FLAIR MRI.
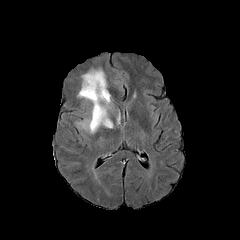
T1-weighted MR image.
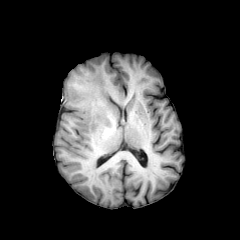
Post-contrast T1-weighted MR image.
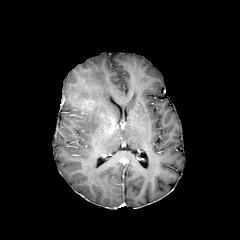
T2-weighted MRI.
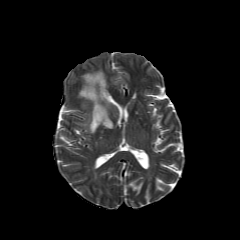
Axial slice
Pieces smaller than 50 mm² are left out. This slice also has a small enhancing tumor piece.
peritumoral edema: bounding box region(79, 70, 112, 132)